FLAIR magnetic resonance.
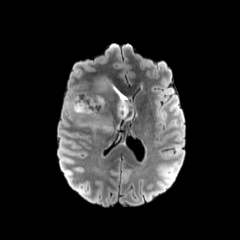
T1-weighted MR.
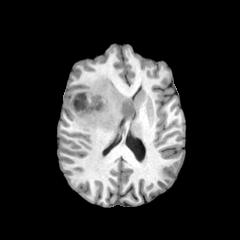
Post-contrast T1-weighted MR image.
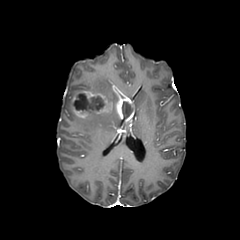
T2-weighted MR image.
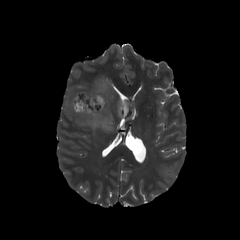
Brain
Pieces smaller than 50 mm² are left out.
The 2 largest necrotic tumor core regions are located at (73,93,104,112), (122,101,132,117). The 2 largest peritumoral edema regions are bounded by (88,113,113,132), (92,74,113,102). 2 enhancing tumor regions are located at (112,86,134,121), (71,91,112,118).